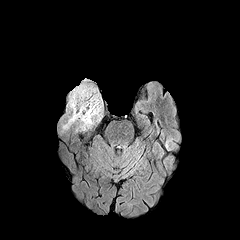
FLAIR MR image.
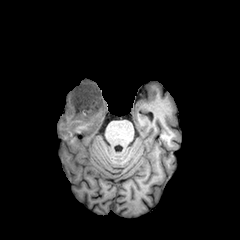
T1-weighted magnetic resonance.
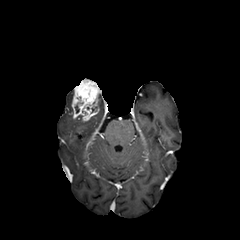
Post-contrast T1-weighted MR image.
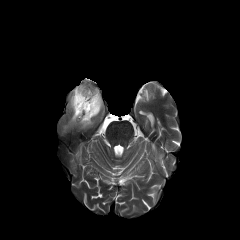
T2-weighted MR image.
Axial plane
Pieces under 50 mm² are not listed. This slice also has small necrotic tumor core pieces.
<segmentation>
  <peritumoral_edema>67,90,73,110; 63,95,103,129</peritumoral_edema>
  <enhancing_tumor>71,78,99,121</enhancing_tumor>
</segmentation>